FLAIR magnetic resonance.
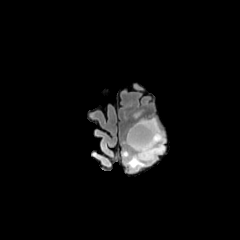
T1-weighted MR.
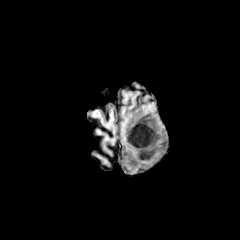
Post-contrast T1-weighted MRI.
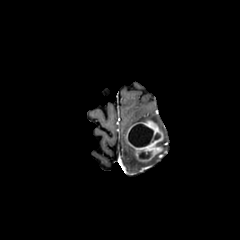
T2-weighted MRI.
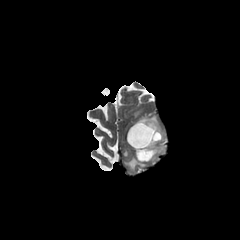
Brain.
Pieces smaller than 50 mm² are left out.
necrotic_tumor_core:
  - (x1=139, y1=152, x2=150, y2=158)
  - (x1=128, y1=124, x2=153, y2=147)
enhancing_tumor:
  - (x1=126, y1=119, x2=164, y2=162)
peritumoral_edema:
  - (x1=122, y1=146, x2=157, y2=171)